Axial view | Slice 108/155 | Head
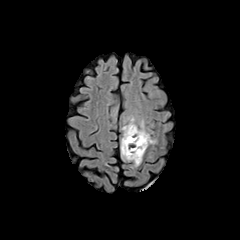
FLAIR MR.
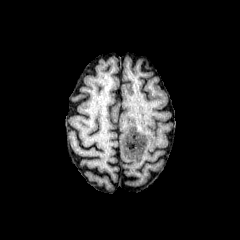
Same slice, T1-weighted magnetic resonance.
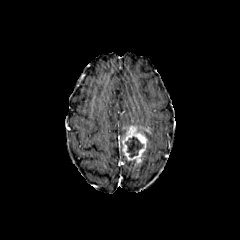
Post-contrast T1-weighted MR image.
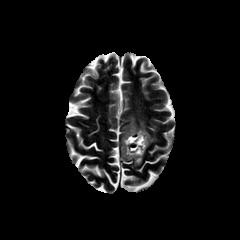
Same slice, T2-weighted magnetic resonance.
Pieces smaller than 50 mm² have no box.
peritumoral edema — 144:131:156:146, 122:116:137:136
necrotic tumor core — 125:137:142:157
enhancing tumor — 122:125:150:163